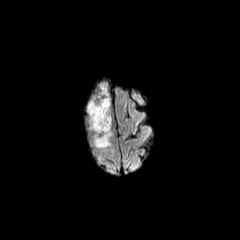
FLAIR MRI.
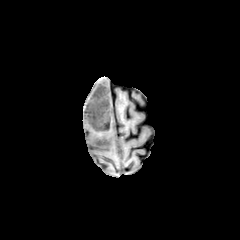
T1-weighted MR image.
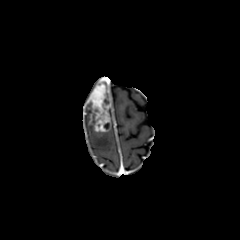
Post-contrast T1-weighted MR image.
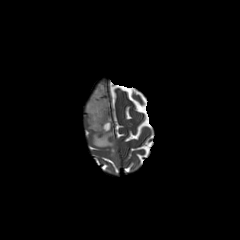
T2-weighted magnetic resonance of the same slice.
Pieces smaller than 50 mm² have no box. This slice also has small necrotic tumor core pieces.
{"peritumoral_edema": ["region(99, 83, 110, 103)", "region(86, 101, 112, 148)"], "enhancing_tumor": ["region(89, 84, 110, 131)"]}